Slice 80 of 155
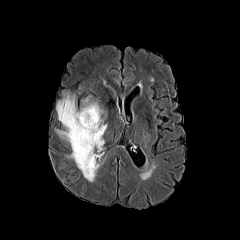
FLAIR MRI.
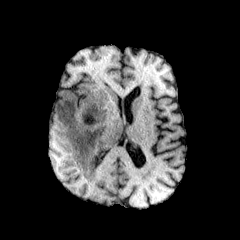
Same slice, T1-weighted MRI.
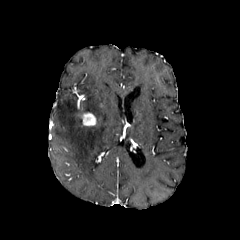
Post-contrast T1-weighted MRI of the same slice.
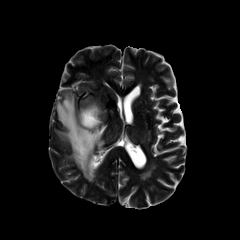
T2-weighted MR image.
enhancing tumor: bounding box l=80, t=112, r=96, b=126
peritumoral edema: bounding box l=56, t=93, r=106, b=181